FLAIR MR image.
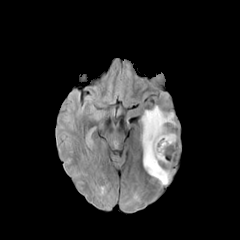
T1-weighted MR.
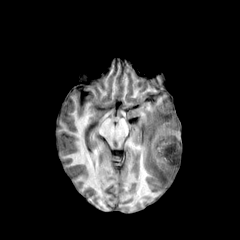
Post-contrast T1-weighted MR.
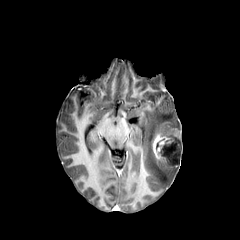
T2-weighted MRI.
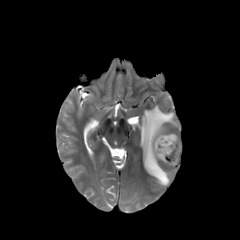
Head
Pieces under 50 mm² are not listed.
{
  "necrotic_tumor_core": [
    "region(159, 141, 181, 168)"
  ],
  "enhancing_tumor": [
    "region(152, 133, 180, 162)"
  ],
  "peritumoral_edema": [
    "region(141, 106, 179, 185)"
  ]
}